FLAIR magnetic resonance.
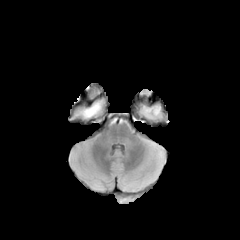
T1-weighted MRI.
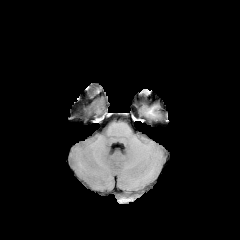
Post-contrast T1-weighted MR.
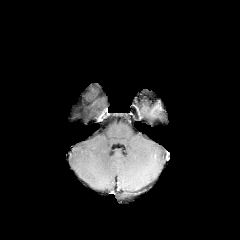
T2-weighted MRI.
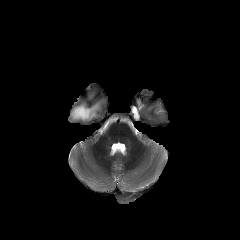
Brain, 240x240, Axial plane
peritumoral edema: <box>69,84,107,122</box>